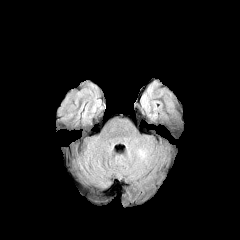
FLAIR MR.
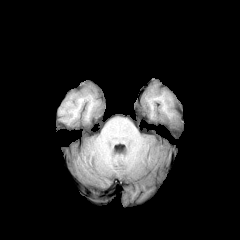
T1-weighted magnetic resonance.
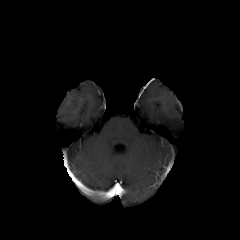
Same slice, post-contrast T1-weighted MRI.
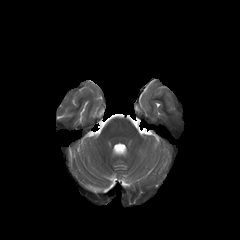
T2-weighted MR image.
peritumoral edema: <box>141,94,150,114</box>